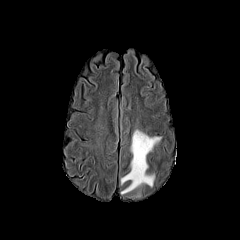
FLAIR MRI.
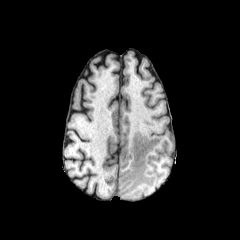
T1-weighted magnetic resonance of the same slice.
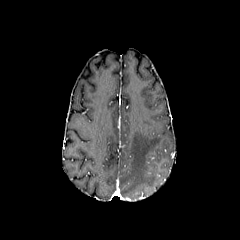
Post-contrast T1-weighted magnetic resonance.
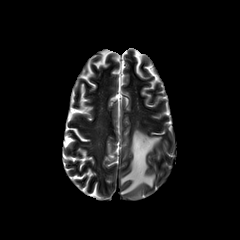
T2-weighted magnetic resonance of the same slice.
Axial plane
<segmentation>
  <peritumoral_edema>bbox=[121, 129, 161, 194]</peritumoral_edema>
</segmentation>